FLAIR MRI.
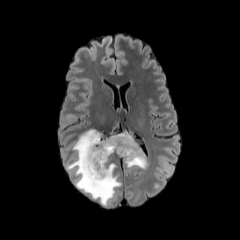
T1-weighted magnetic resonance.
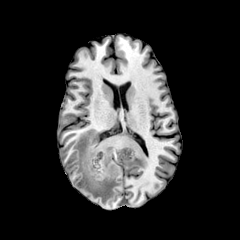
Post-contrast T1-weighted MRI.
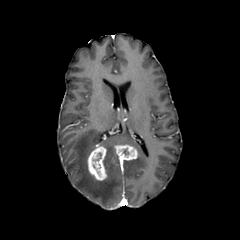
T2-weighted MR.
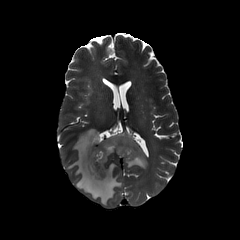
Brain, Axial slice
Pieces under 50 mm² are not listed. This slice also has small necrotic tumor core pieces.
enhancing tumor = region(87, 146, 107, 180); region(115, 145, 137, 160)
peritumoral edema = region(67, 129, 146, 205)